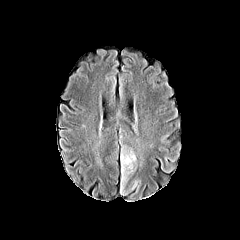
FLAIR MR image.
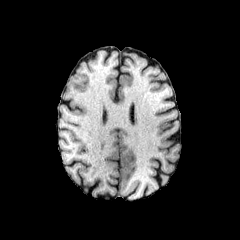
T1-weighted MR image.
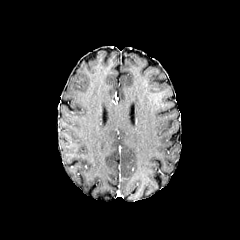
Post-contrast T1-weighted MRI.
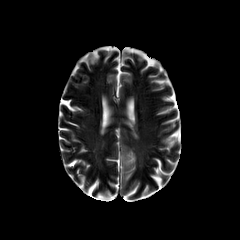
Same slice, T2-weighted magnetic resonance.
Head, Axial view
peritumoral edema — x1=120, y1=145, x2=136, y2=185; x1=132, y1=177, x2=140, y2=191